Axial slice
FLAIR MR.
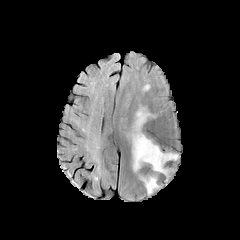
T1-weighted magnetic resonance.
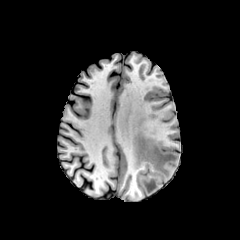
Post-contrast T1-weighted magnetic resonance.
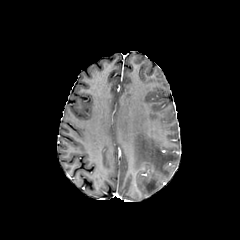
T2-weighted MR image.
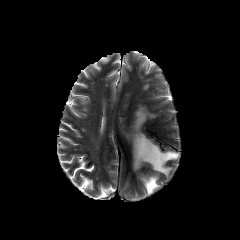
peritumoral edema: (x1=140, y1=175, x2=159, y2=194), (x1=130, y1=107, x2=179, y2=176)